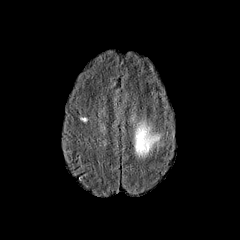
FLAIR MR.
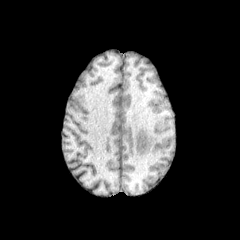
T1-weighted MR.
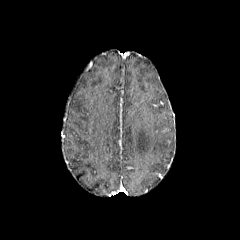
Post-contrast T1-weighted magnetic resonance.
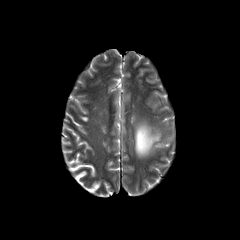
T2-weighted magnetic resonance.
Head.
The peritumoral edema is located at (135, 122, 159, 156).